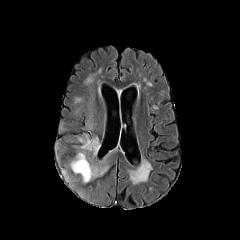
FLAIR MR image.
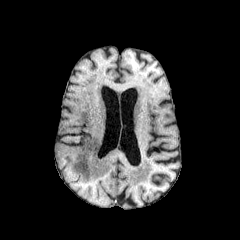
T1-weighted magnetic resonance of the same slice.
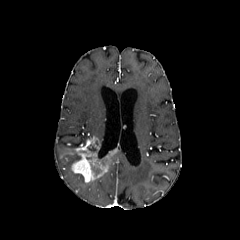
Same slice, post-contrast T1-weighted magnetic resonance.
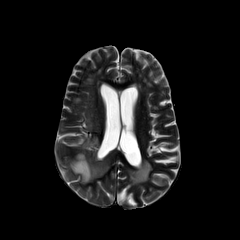
T2-weighted MR image.
Brain.
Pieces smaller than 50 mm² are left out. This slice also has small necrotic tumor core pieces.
<segmentation>
  <peritumoral_edema>bbox=[85, 121, 93, 130]</peritumoral_edema>
  <enhancing_tumor>bbox=[58, 136, 118, 182]</enhancing_tumor>
</segmentation>